FLAIR MRI.
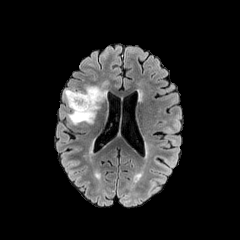
T1-weighted MRI.
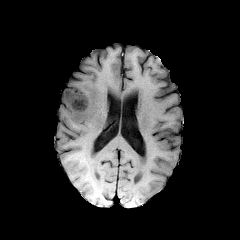
Post-contrast T1-weighted MR.
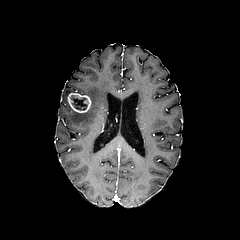
T2-weighted MR image.
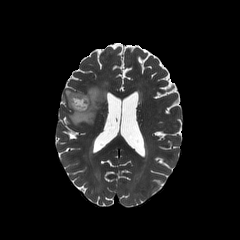
Axial plane
The peritumoral edema appears at left=64, top=80, right=108, bottom=124. The necrotic tumor core appears at left=71, top=96, right=86, bottom=109. The enhancing tumor is at left=67, top=92, right=91, bottom=113.